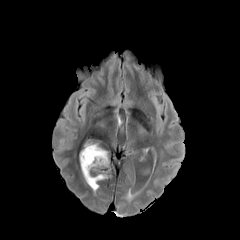
FLAIR MR.
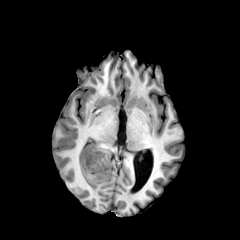
T1-weighted magnetic resonance of the same slice.
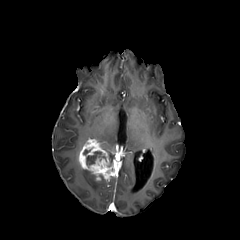
Post-contrast T1-weighted magnetic resonance.
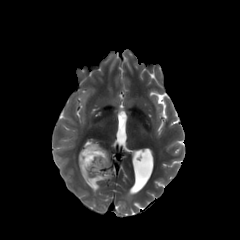
Same slice, T2-weighted MRI.
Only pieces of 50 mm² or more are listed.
peritumoral edema: [81,168,98,191]
necrotic tumor core: [86,151,101,164]
enhancing tumor: [78,139,114,180]